Axial view. Head. Slice 34/155.
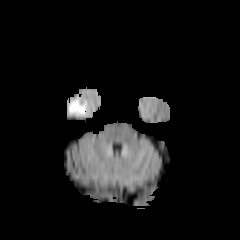
FLAIR MR.
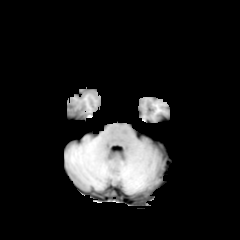
T1-weighted MRI of the same slice.
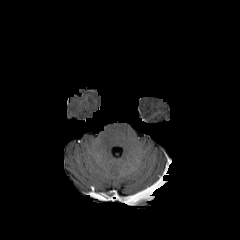
Same slice, post-contrast T1-weighted magnetic resonance.
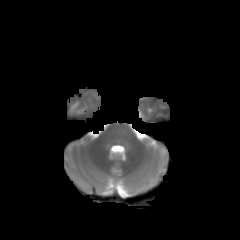
T2-weighted MRI.
<segmentation>
  <peritumoral_edema>l=69, t=99, r=87, b=112</peritumoral_edema>
</segmentation>